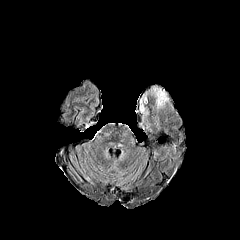
FLAIR magnetic resonance.
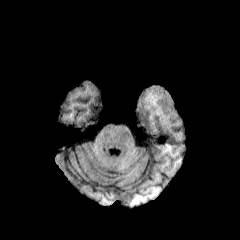
T1-weighted MRI of the same slice.
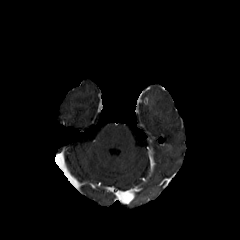
Post-contrast T1-weighted MR image of the same slice.
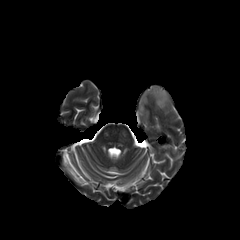
T2-weighted MR.
Head, 240x240, Axial slice
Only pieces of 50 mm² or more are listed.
{"peritumoral_edema": ["<box>152,87,168,107</box>"]}